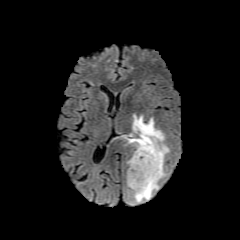
FLAIR magnetic resonance.
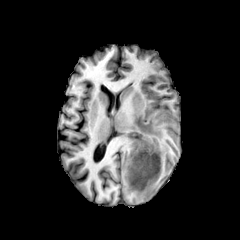
T1-weighted magnetic resonance of the same slice.
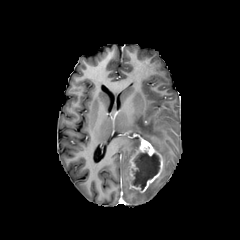
Same slice, post-contrast T1-weighted MR image.
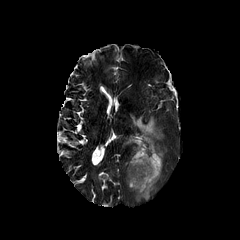
T2-weighted MRI.
Head, Axial view
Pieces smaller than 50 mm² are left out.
necrotic tumor core at 132, 152, 159, 190
peritumoral edema at 124, 136, 139, 149; 132, 165, 166, 202; 132, 115, 169, 160
enhancing tumor at 127, 138, 163, 192